Slice index 80; Head
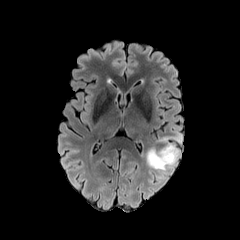
FLAIR MRI.
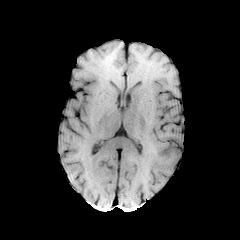
T1-weighted MRI of the same slice.
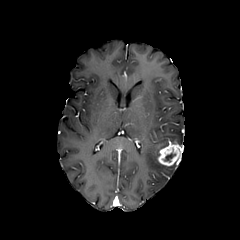
Post-contrast T1-weighted magnetic resonance of the same slice.
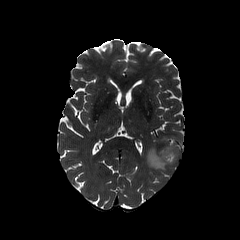
T2-weighted MR image.
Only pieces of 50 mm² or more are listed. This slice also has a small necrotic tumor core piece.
enhancing tumor = (left=157, top=141, right=181, bottom=166)
peritumoral edema = (left=146, top=134, right=182, bottom=171)